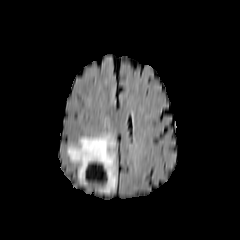
FLAIR MR image.
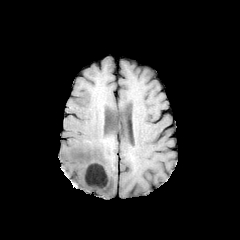
T1-weighted MR.
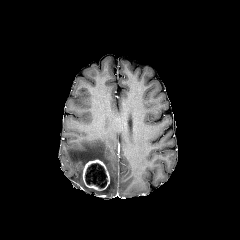
Same slice, post-contrast T1-weighted magnetic resonance.
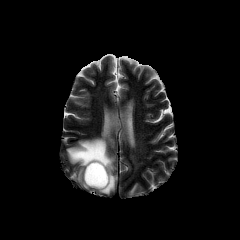
T2-weighted MR image.
Head
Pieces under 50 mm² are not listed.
peritumoral edema at (67,134,117,194)
enhancing tumor at (82,159,110,190)
necrotic tumor core at (85,163,107,188)